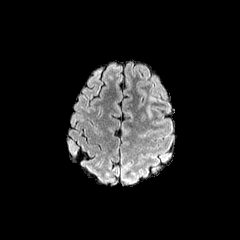
FLAIR MR.
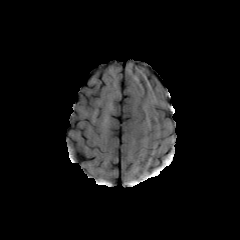
T1-weighted MRI.
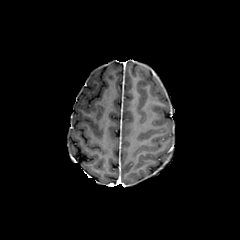
Post-contrast T1-weighted MR.
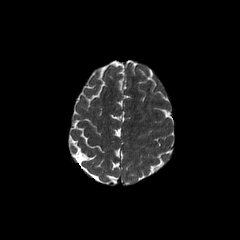
T2-weighted MRI of the same slice.
Axial plane. Brain. 240x240.
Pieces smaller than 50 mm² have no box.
- peritumoral edema: box(146, 105, 151, 118)